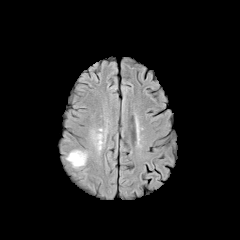
FLAIR MR.
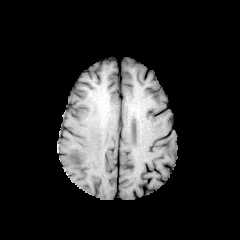
T1-weighted magnetic resonance.
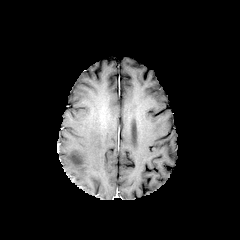
Post-contrast T1-weighted MR image of the same slice.
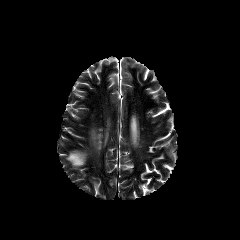
Same slice, T2-weighted MRI.
2 peritumoral edema regions are bounded by {"x1": 66, "y1": 151, "x2": 86, "y2": 166}, {"x1": 92, "y1": 134, "x2": 101, "y2": 150}.